Brain; 240x240 px; Axial slice
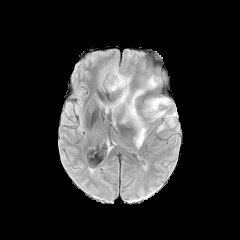
FLAIR MR.
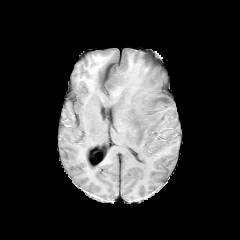
T1-weighted MR of the same slice.
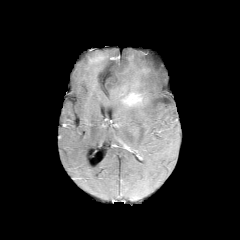
Post-contrast T1-weighted magnetic resonance.
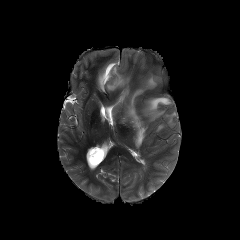
T2-weighted MR.
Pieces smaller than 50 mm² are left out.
{"enhancing_tumor": ["bbox=[123, 93, 138, 105]", "bbox=[109, 55, 120, 60]"], "peritumoral_edema": ["bbox=[144, 97, 176, 126]", "bbox=[99, 48, 165, 147]"]}